Axial view; Slice index 97; 240x240 px
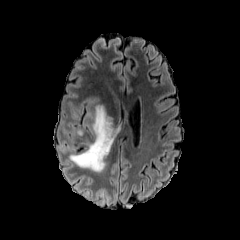
FLAIR MR image.
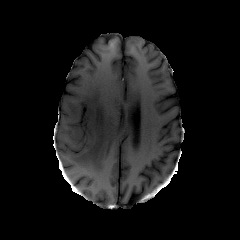
T1-weighted MR image.
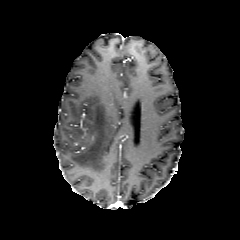
Post-contrast T1-weighted MR image.
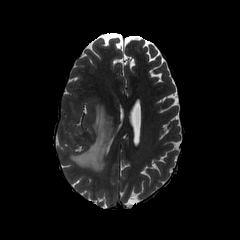
Same slice, T2-weighted MR.
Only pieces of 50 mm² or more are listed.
peritumoral edema = x1=69 y1=105 x2=118 y2=172